240x240 px; Brain; Slice 107 of 155
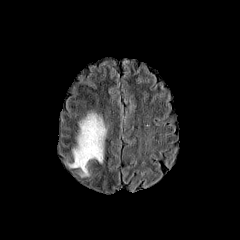
FLAIR MRI.
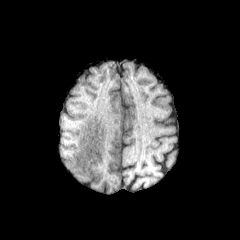
Same slice, T1-weighted magnetic resonance.
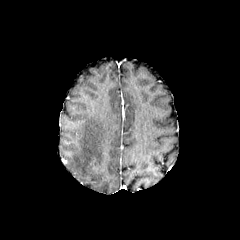
Same slice, post-contrast T1-weighted MRI.
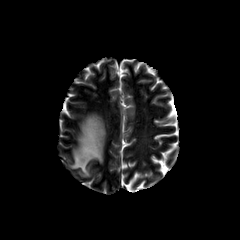
T2-weighted MRI.
peritumoral edema: <box>65,110,106,177</box>